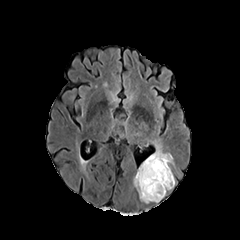
FLAIR magnetic resonance.
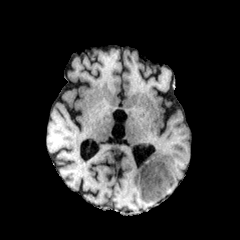
T1-weighted MR.
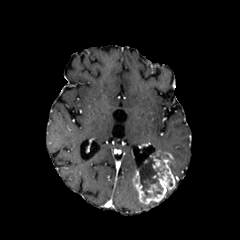
Same slice, post-contrast T1-weighted MRI.
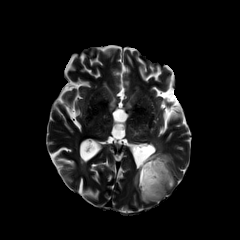
Same slice, T2-weighted MR.
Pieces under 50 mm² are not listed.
The largest necrotic tumor core region appears at left=138, top=160, right=162, bottom=196. The largest enhancing tumor region is bounded by left=132, top=150, right=174, bottom=205. The largest peritumoral edema region lies within left=152, top=139, right=174, bottom=166.